FLAIR MR image.
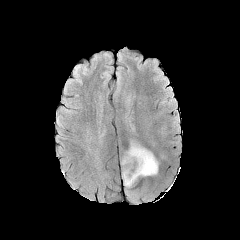
T1-weighted MR.
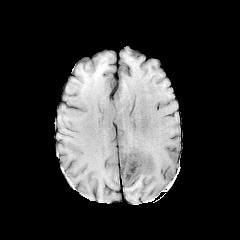
Post-contrast T1-weighted magnetic resonance.
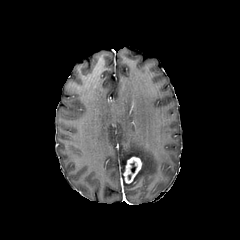
T2-weighted MRI.
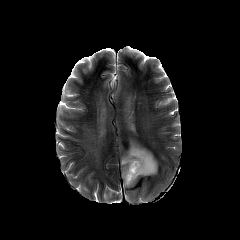
Brain; Axial slice
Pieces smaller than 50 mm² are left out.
{"necrotic_tumor_core": ["130,161,136,172"], "enhancing_tumor": ["123,157,142,183"], "peritumoral_edema": ["121,140,158,187"]}